FLAIR magnetic resonance.
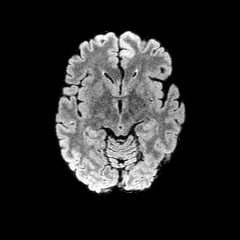
T1-weighted MRI.
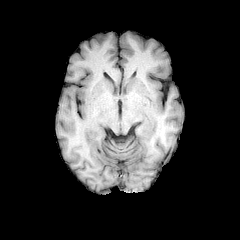
Post-contrast T1-weighted MRI.
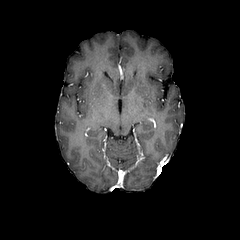
T2-weighted MR image.
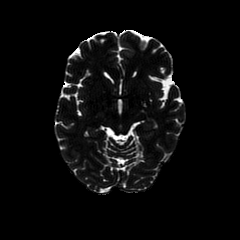
Axial plane | Brain
{"peritumoral_edema": ["[120,31,133,56]"]}